FLAIR MRI.
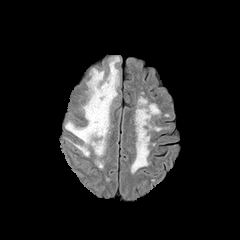
T1-weighted magnetic resonance.
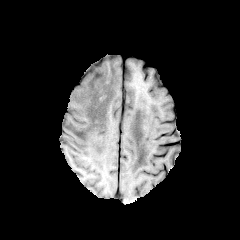
Post-contrast T1-weighted magnetic resonance.
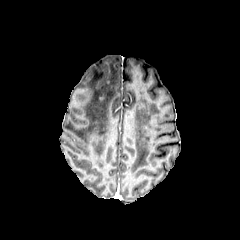
T2-weighted MRI.
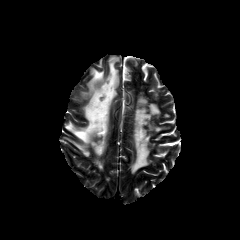
240x240 px; Axial plane; Head
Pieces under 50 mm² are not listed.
peritumoral edema: [65,56,119,156]